Image width 240 mm, 1.00 mm slice spacing, Slice 98/155
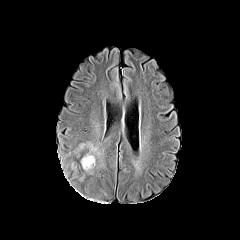
FLAIR MRI.
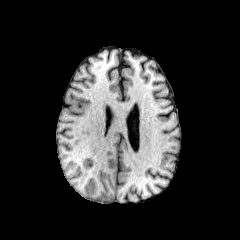
T1-weighted MRI.
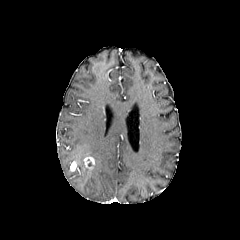
Post-contrast T1-weighted MR image.
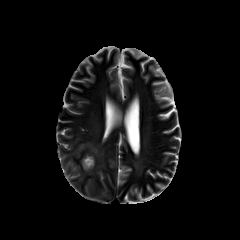
T2-weighted MR.
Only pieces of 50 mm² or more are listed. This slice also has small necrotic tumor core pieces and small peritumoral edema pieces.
The largest enhancing tumor region appears at rect(84, 157, 94, 169).